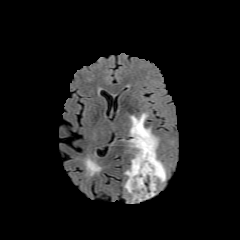
FLAIR MRI.
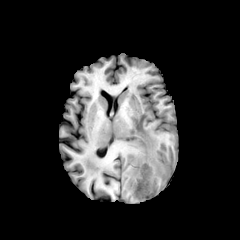
T1-weighted MR.
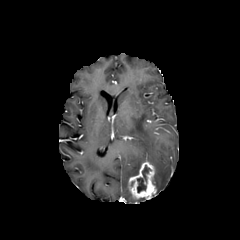
Post-contrast T1-weighted MR image of the same slice.
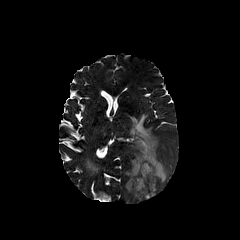
T2-weighted MR image.
Head; Axial view
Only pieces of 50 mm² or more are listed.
The enhancing tumor is bounded by bbox=[128, 161, 156, 199]. The largest peritumoral edema region appears at bbox=[125, 113, 166, 182]. The largest necrotic tumor core region lies within bbox=[137, 165, 150, 192].